Brain | Image covers 240 mm x 240 mm | Slice 95 of 155
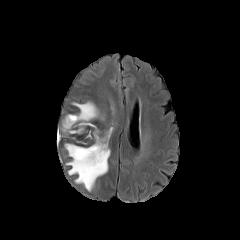
FLAIR MR image.
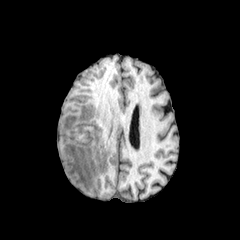
T1-weighted MR image.
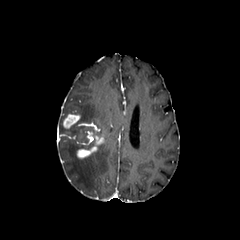
Post-contrast T1-weighted MRI.
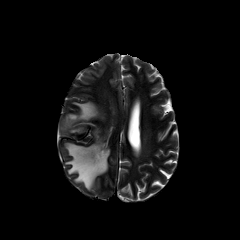
Same slice, T2-weighted magnetic resonance.
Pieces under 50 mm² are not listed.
The 3 largest enhancing tumor regions are located at bbox=[63, 114, 80, 128]; bbox=[77, 131, 104, 158]; bbox=[78, 123, 96, 129]. The 2 largest peritumoral edema regions are bounded by bbox=[61, 101, 99, 135]; bbox=[65, 127, 112, 191].